FLAIR magnetic resonance.
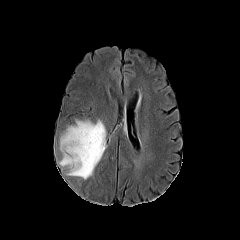
T1-weighted MR image.
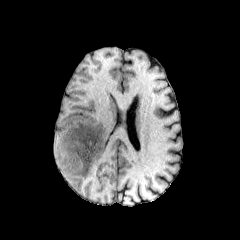
Post-contrast T1-weighted MRI.
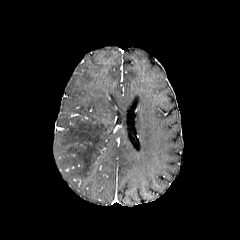
T2-weighted magnetic resonance.
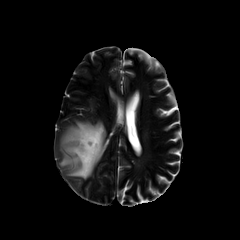
240x240; Axial view; Brain
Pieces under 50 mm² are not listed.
Findings:
• peritumoral edema: (59, 121, 105, 179)